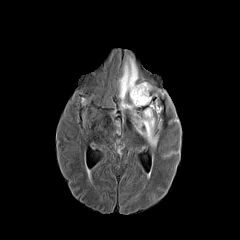
FLAIR MR.
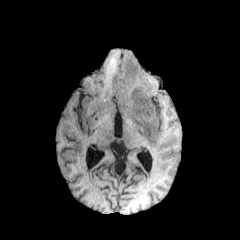
T1-weighted MR image.
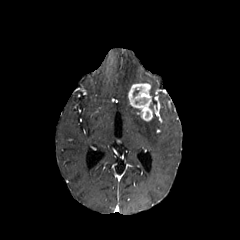
Post-contrast T1-weighted MR image.
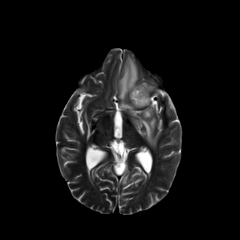
T2-weighted MR of the same slice.
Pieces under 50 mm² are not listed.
peritumoral edema: <box>119,55,158,147</box> | enhancing tumor: <box>128,83,160,121</box> | necrotic tumor core: <box>150,98,157,111</box>